Head | Image size 240x240
FLAIR magnetic resonance.
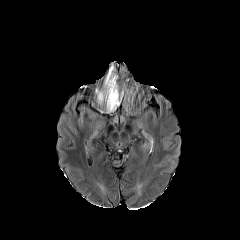
T1-weighted MR image.
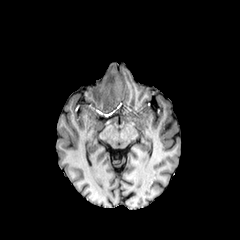
Post-contrast T1-weighted magnetic resonance.
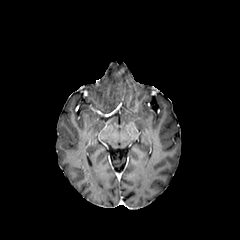
T2-weighted MR image.
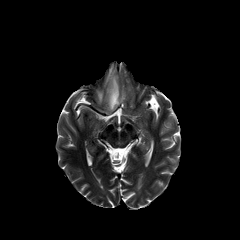
peritumoral edema = [96,65,123,111]